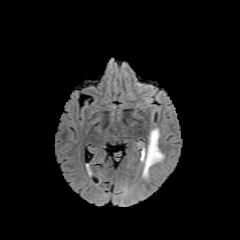
FLAIR magnetic resonance.
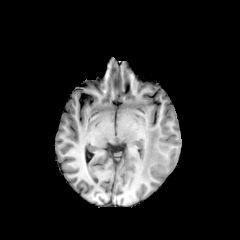
T1-weighted MRI.
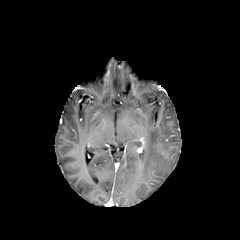
Same slice, post-contrast T1-weighted MR image.
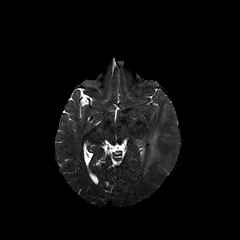
Same slice, T2-weighted MR.
Axial plane. Head.
<segmentation>
  <peritumoral_edema><bbox>140, 129, 163, 177</bbox></peritumoral_edema>
</segmentation>